FLAIR MR.
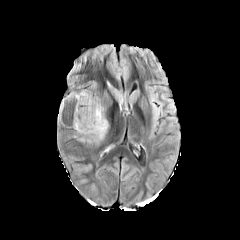
T1-weighted MRI.
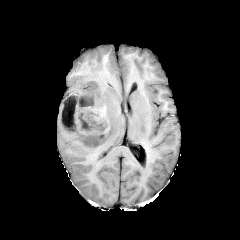
Post-contrast T1-weighted MR.
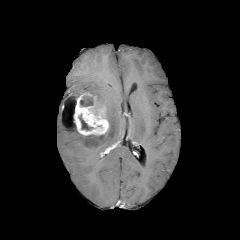
T2-weighted MR.
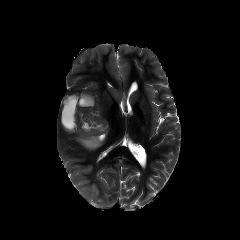
Brain. Axial view.
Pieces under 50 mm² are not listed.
necrotic_tumor_core:
  - 79, 115, 92, 130
  - 80, 96, 93, 106
  - 61, 96, 76, 130
peritumoral_edema:
  - 95, 93, 112, 109
  - 74, 131, 107, 146
enhancing_tumor:
  - 59, 93, 108, 135